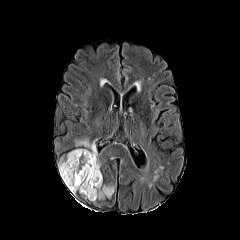
FLAIR MR.
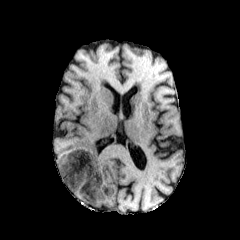
T1-weighted MR image of the same slice.
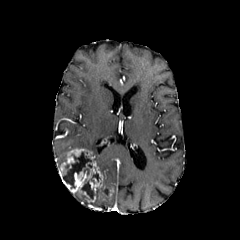
Post-contrast T1-weighted magnetic resonance.
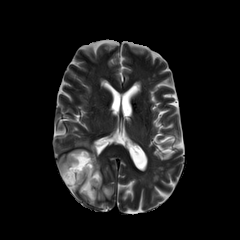
Same slice, T2-weighted MR image.
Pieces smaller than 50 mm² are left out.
peritumoral_edema:
  - (x1=75, y1=139, x2=100, y2=169)
  - (x1=96, y1=190, x2=110, y2=199)
necrotic_tumor_core:
  - (x1=63, y1=152, x2=91, y2=188)
  - (x1=81, y1=181, x2=94, y2=199)
enhancing_tumor:
  - (x1=58, y1=149, x2=105, y2=201)